FLAIR MRI.
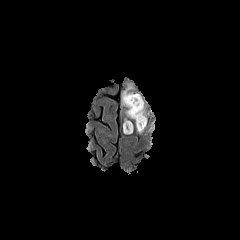
T1-weighted MR image.
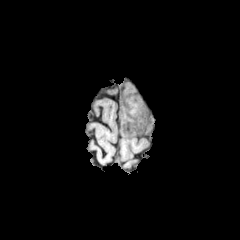
Post-contrast T1-weighted MR image.
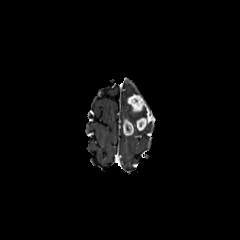
T2-weighted MR image.
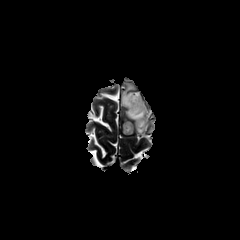
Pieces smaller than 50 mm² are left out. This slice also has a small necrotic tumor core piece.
Segmented structures:
• peritumoral edema: region(121, 84, 146, 122)
• enhancing tumor: region(123, 119, 133, 135); region(127, 94, 145, 112); region(136, 117, 147, 130)